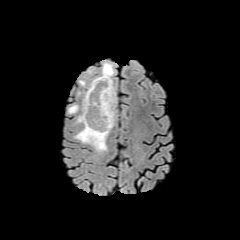
FLAIR MR.
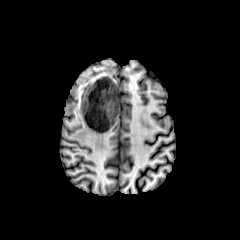
T1-weighted MR of the same slice.
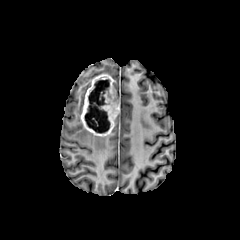
Post-contrast T1-weighted MR of the same slice.
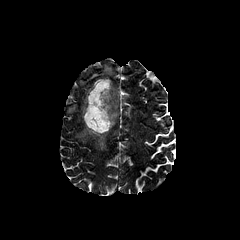
T2-weighted magnetic resonance.
Brain
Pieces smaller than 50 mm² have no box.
The enhancing tumor is at bbox(81, 74, 118, 136). The necrotic tumor core is at bbox(85, 79, 110, 133). The 3 largest peritumoral edema regions appear at bbox(74, 126, 108, 152); bbox(67, 104, 78, 113); bbox(100, 62, 115, 77).